Axial view; Image size 240x240
FLAIR MRI.
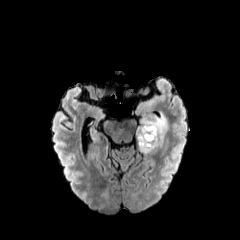
T1-weighted MR image.
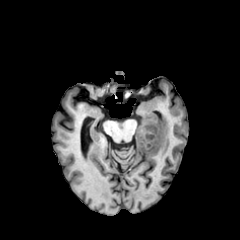
Post-contrast T1-weighted MRI.
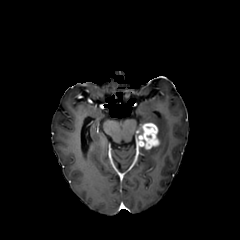
T2-weighted MRI.
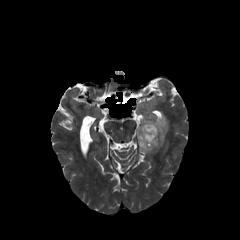
The enhancing tumor lies within bbox(136, 122, 159, 149). The peritumoral edema is located at bbox(137, 114, 168, 153).